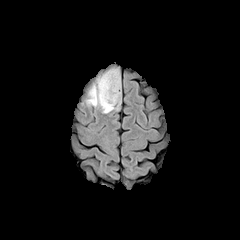
FLAIR MRI.
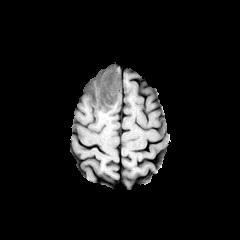
T1-weighted magnetic resonance of the same slice.
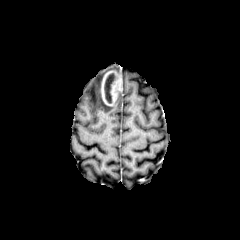
Post-contrast T1-weighted MR.
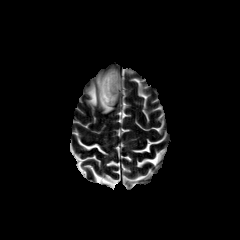
T2-weighted MR.
240x240 px, Brain
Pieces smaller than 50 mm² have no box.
necrotic_tumor_core:
  - l=104, t=73, r=115, b=103
peritumoral_edema:
  - l=86, t=73, r=121, b=113
enhancing_tumor:
  - l=101, t=70, r=121, b=105